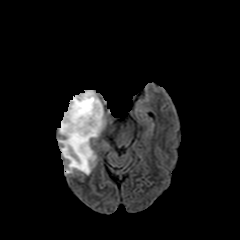
FLAIR magnetic resonance.
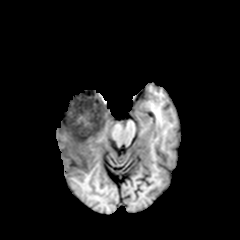
T1-weighted MR image.
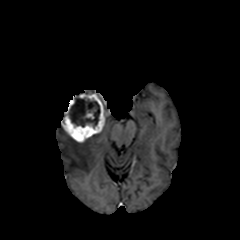
Same slice, post-contrast T1-weighted MRI.
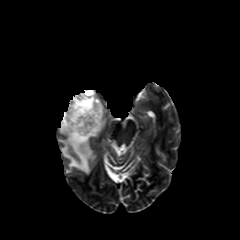
T2-weighted MRI.
Head
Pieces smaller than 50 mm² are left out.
The necrotic tumor core lies within x1=69 y1=97 x2=100 y2=127. The largest enhancing tumor region is bounded by x1=61 y1=90 x2=105 y2=142. The peritumoral edema is located at x1=58 y1=126 x2=98 y2=174.